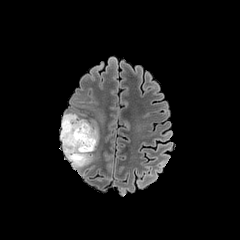
FLAIR MRI.
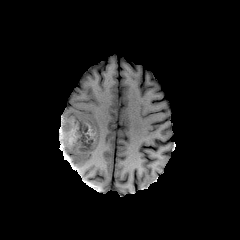
T1-weighted MR image.
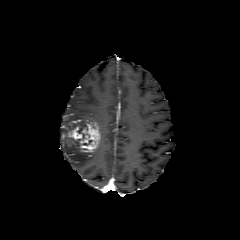
Post-contrast T1-weighted magnetic resonance.
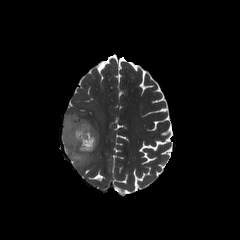
T2-weighted MRI.
Axial slice
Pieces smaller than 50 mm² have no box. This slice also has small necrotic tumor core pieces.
peritumoral edema: bounding box (60,128,93,167), (61,113,95,128)
enhancing tumor: bounding box (62,120,100,152)